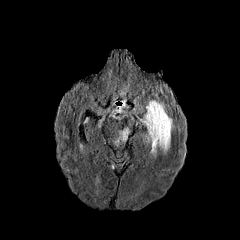
FLAIR MRI.
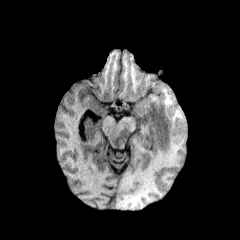
Same slice, T1-weighted MR.
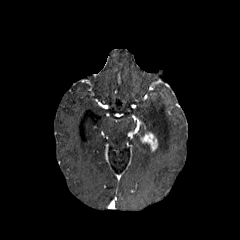
Post-contrast T1-weighted MR image.
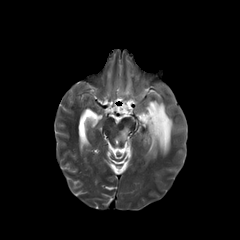
T2-weighted MR.
Head.
enhancing_tumor:
  - rect(142, 133, 157, 151)
peritumoral_edema:
  - rect(140, 100, 173, 156)
  - rect(117, 127, 128, 141)